FLAIR MR image.
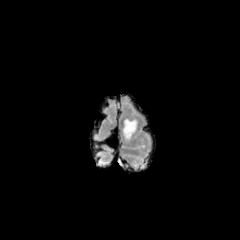
T1-weighted magnetic resonance.
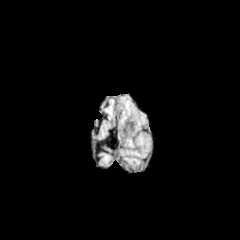
Post-contrast T1-weighted MR.
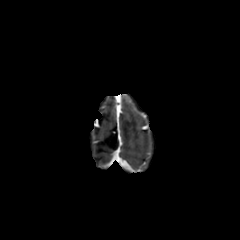
T2-weighted magnetic resonance.
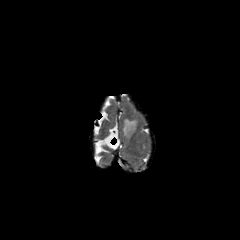
Head.
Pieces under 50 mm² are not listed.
peritumoral edema — bbox=[122, 117, 139, 140]